FLAIR magnetic resonance.
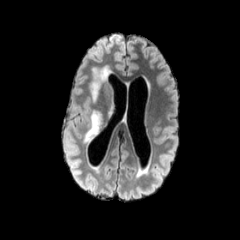
T1-weighted MR.
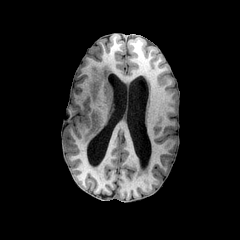
Post-contrast T1-weighted magnetic resonance.
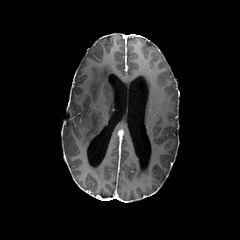
T2-weighted magnetic resonance.
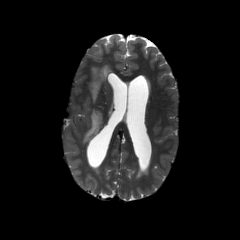
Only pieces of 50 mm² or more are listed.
peritumoral edema: left=83, top=110, right=102, bottom=143; left=90, top=65, right=110, bottom=101